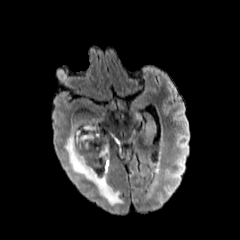
FLAIR magnetic resonance.
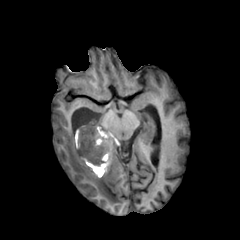
T1-weighted MRI of the same slice.
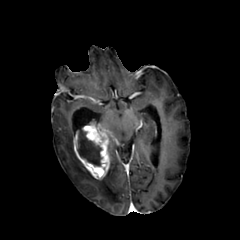
Post-contrast T1-weighted MRI.
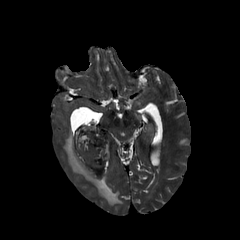
T2-weighted MRI.
Head
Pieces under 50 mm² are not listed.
enhancing tumor: box(73, 121, 109, 179) | necrotic tumor core: box(77, 130, 101, 166) | peritumoral edema: box(64, 126, 123, 205)